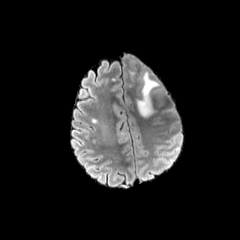
FLAIR MR.
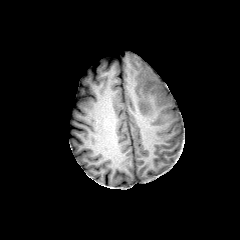
T1-weighted MRI.
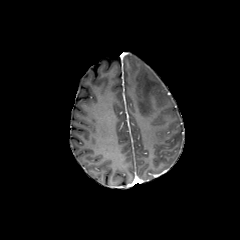
Post-contrast T1-weighted MR of the same slice.
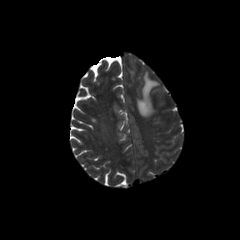
T2-weighted MR image.
Brain
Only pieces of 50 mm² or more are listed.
peritumoral edema = <bbox>137, 72, 159, 117</bbox>